FLAIR MRI.
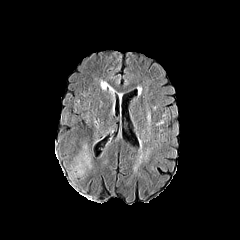
T1-weighted MR image.
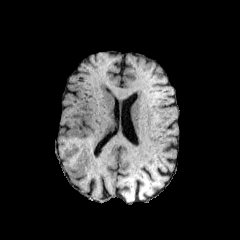
Post-contrast T1-weighted MR.
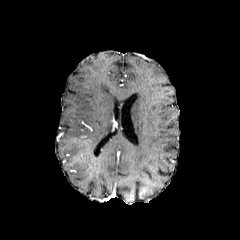
T2-weighted MR.
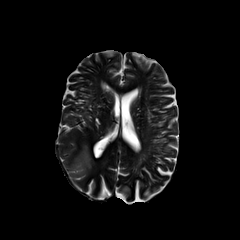
Head | Axial slice
peritumoral edema — [x1=73, y1=147, x2=91, y2=177]